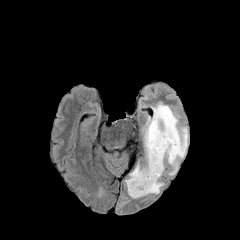
FLAIR MR.
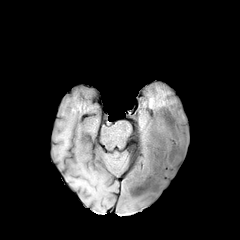
T1-weighted MR.
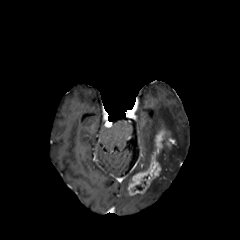
Post-contrast T1-weighted MR image.
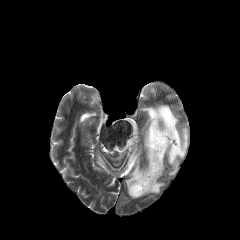
T2-weighted MRI.
Head
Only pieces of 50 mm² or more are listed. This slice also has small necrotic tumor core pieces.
peritumoral_edema:
  - left=125, top=103, right=188, bottom=198
enhancing_tumor:
  - left=127, top=127, right=175, bottom=195